Head
FLAIR MR.
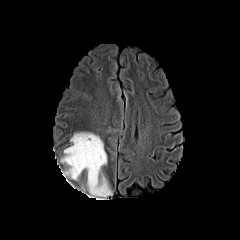
T1-weighted MR.
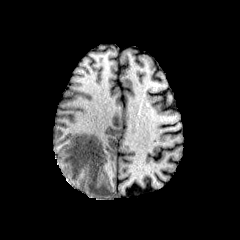
Post-contrast T1-weighted MR.
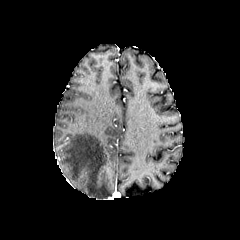
T2-weighted MRI.
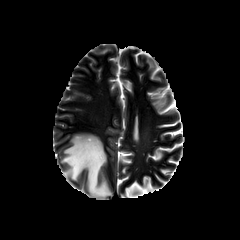
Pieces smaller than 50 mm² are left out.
The largest peritumoral edema region is at <bbox>61, 132, 111, 199</bbox>.